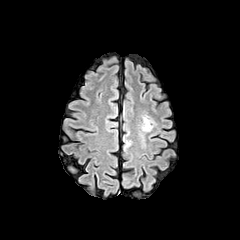
FLAIR MR.
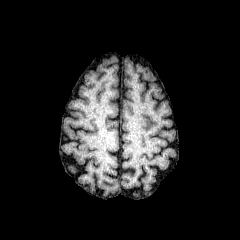
T1-weighted MRI.
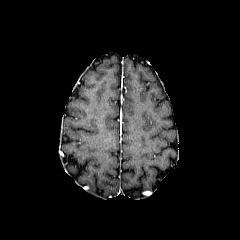
Same slice, post-contrast T1-weighted MR.
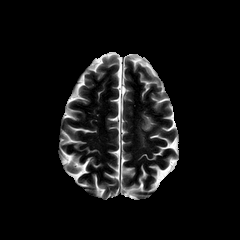
T2-weighted MR of the same slice.
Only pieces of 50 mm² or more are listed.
peritumoral edema = rect(141, 115, 153, 131)